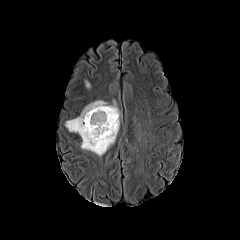
FLAIR MRI.
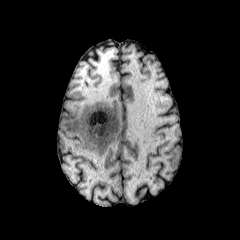
T1-weighted MR of the same slice.
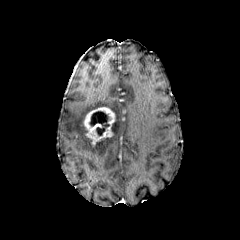
Post-contrast T1-weighted MR image of the same slice.
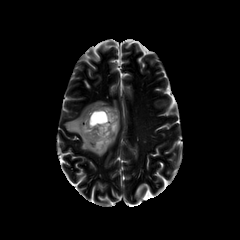
T2-weighted magnetic resonance.
Head | Axial slice
The peritumoral edema lies within rect(65, 100, 120, 156). The enhancing tumor is located at rect(83, 107, 115, 144). The necrotic tumor core is located at rect(88, 110, 112, 135).